Slice 58 of 155
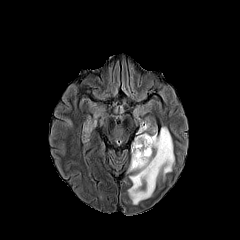
FLAIR MRI.
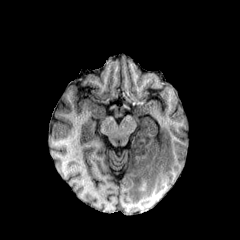
T1-weighted MRI.
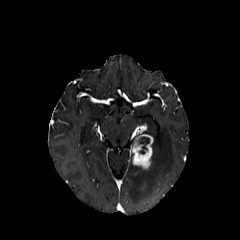
Post-contrast T1-weighted MR image.
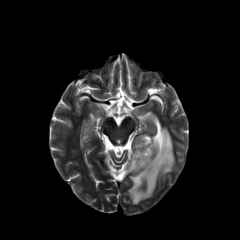
T2-weighted MR.
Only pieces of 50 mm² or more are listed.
Findings:
- peritumoral edema: <bbox>83, 123, 89, 139</bbox>, <bbox>128, 120, 174, 204</bbox>
- necrotic tumor core: <bbox>139, 137, 149, 154</bbox>
- enhancing tumor: <bbox>131, 123, 153, 169</bbox>